FLAIR magnetic resonance.
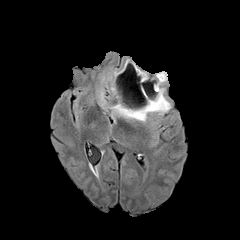
T1-weighted magnetic resonance.
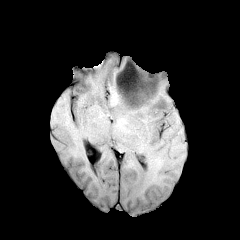
Post-contrast T1-weighted MRI.
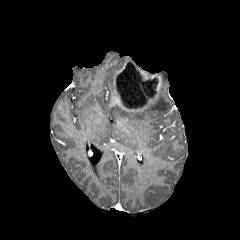
T2-weighted MR image.
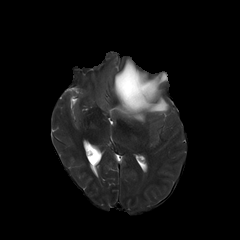
Axial view
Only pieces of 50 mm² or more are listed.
The 2 largest peritumoral edema regions are bounded by [x1=110, y1=88, x2=170, y2=122], [x1=158, y1=72, x2=167, y2=83]. The 2 largest enhancing tumor regions are located at [x1=114, y1=89, x2=146, y2=111], [x1=137, y1=68, x2=161, y2=105]. The necrotic tumor core appears at [x1=115, y1=63, x2=158, y2=109].